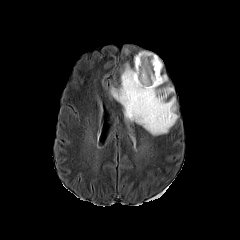
FLAIR MR.
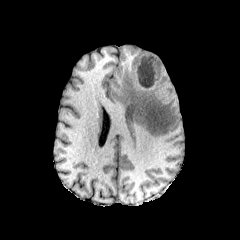
T1-weighted MR.
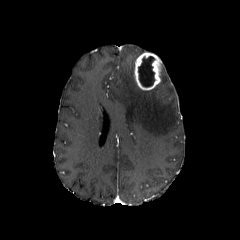
Post-contrast T1-weighted MRI.
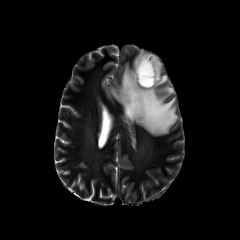
T2-weighted magnetic resonance.
Axial view | Head
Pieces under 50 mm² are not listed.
The enhancing tumor lies within (134, 52, 162, 90). The largest peritumoral edema region is located at (110, 63, 178, 135). The necrotic tumor core is bounded by (138, 56, 154, 86).